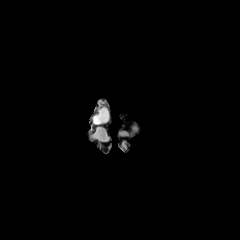
FLAIR MR image.
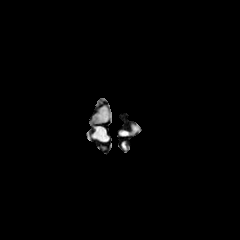
Same slice, T1-weighted magnetic resonance.
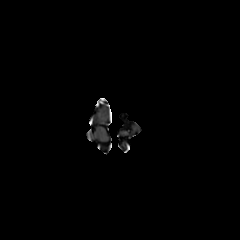
Post-contrast T1-weighted MR image.
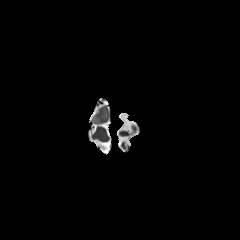
T2-weighted MR image of the same slice.
Head. Axial slice. 240x240 px.
peritumoral edema — region(94, 110, 107, 123)